FLAIR MR image.
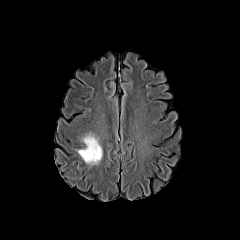
T1-weighted MR image.
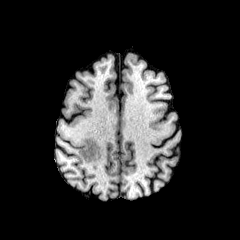
Post-contrast T1-weighted MRI.
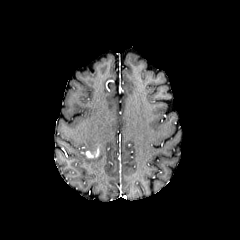
T2-weighted MRI.
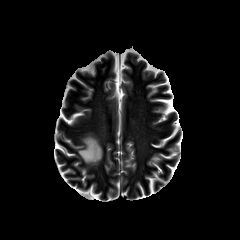
Axial slice; Image size 240x240
peritumoral edema: bounding box {"x1": 77, "y1": 133, "x2": 102, "y2": 165}
enhancing tumor: bounding box {"x1": 81, "y1": 146, "x2": 99, "y2": 158}